Slice 83 of 155, 240x240
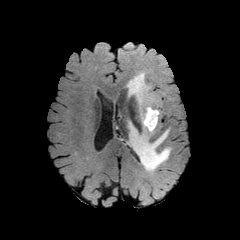
FLAIR magnetic resonance.
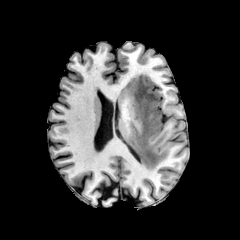
T1-weighted MR of the same slice.
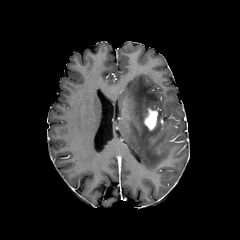
Post-contrast T1-weighted magnetic resonance of the same slice.
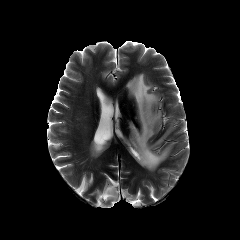
T2-weighted MR image of the same slice.
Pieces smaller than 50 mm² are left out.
{"enhancing_tumor": ["<box>144,108,158,130</box>"], "peritumoral_edema": ["<box>126,73,171,171</box>"]}